FLAIR MRI.
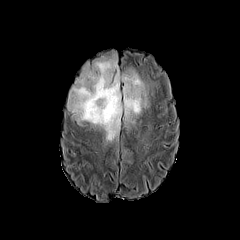
T1-weighted MR image.
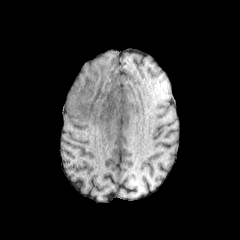
Post-contrast T1-weighted magnetic resonance.
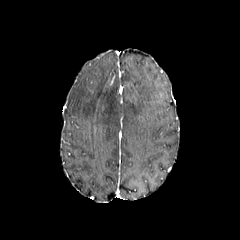
T2-weighted MR image.
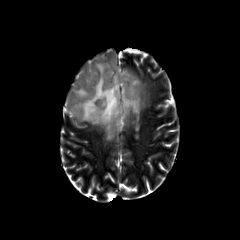
240x240. Head.
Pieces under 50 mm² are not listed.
{"peritumoral_edema": ["region(67, 51, 147, 141)"]}